Slice 73 of 155
FLAIR MRI.
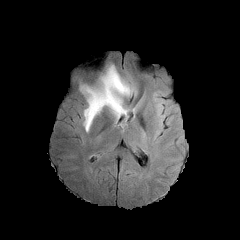
T1-weighted magnetic resonance.
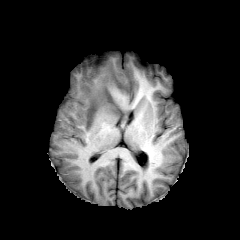
Post-contrast T1-weighted MRI.
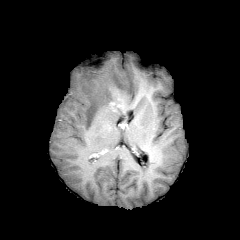
T2-weighted MR.
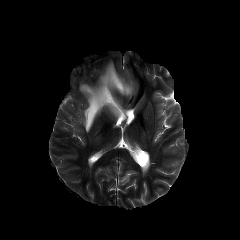
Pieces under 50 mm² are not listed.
The largest enhancing tumor region lies within 110:101:121:112. The peritumoral edema is at 80:64:134:132.